Brain. Image size 240x240. Image width 240 mm.
FLAIR magnetic resonance.
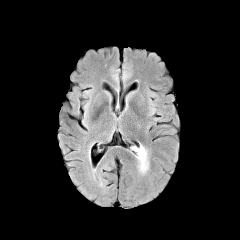
T1-weighted MRI.
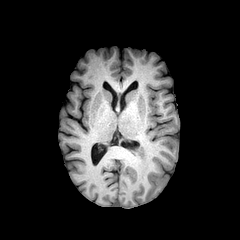
Post-contrast T1-weighted MR image.
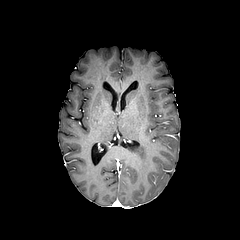
T2-weighted MR image.
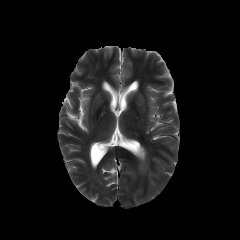
The peritumoral edema is bounded by [133, 146, 147, 171].